Axial plane, Image width 240 mm, 1.00 mm slice spacing
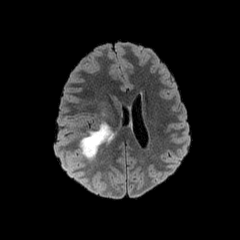
FLAIR MRI.
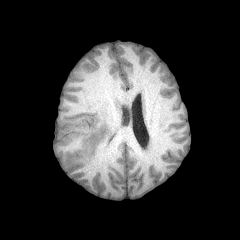
T1-weighted MR image.
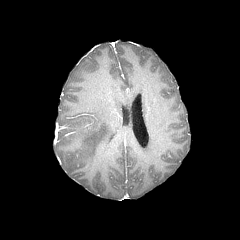
Same slice, post-contrast T1-weighted MR.
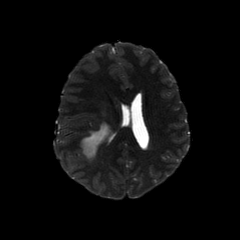
T2-weighted magnetic resonance.
{"peritumoral_edema": ["81,122,113,160"]}